FLAIR MRI.
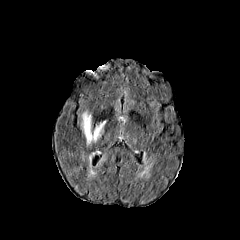
T1-weighted MR image.
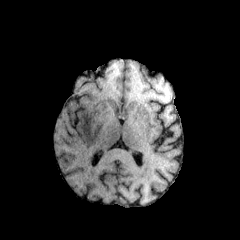
Post-contrast T1-weighted magnetic resonance.
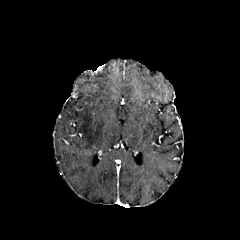
T2-weighted MR.
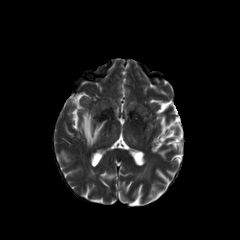
Axial plane | Head
2 peritumoral edema regions are located at (x1=85, y1=168, x2=95, y2=177), (x1=81, y1=111, x2=107, y2=145).